240x240 px. Axial plane. Slice index 75.
FLAIR MR.
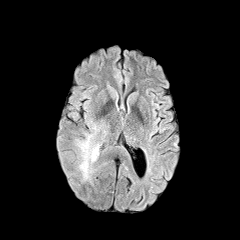
T1-weighted magnetic resonance.
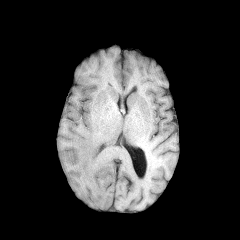
Post-contrast T1-weighted MR image.
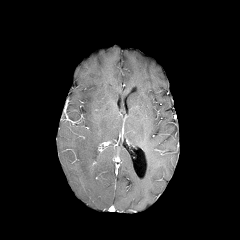
T2-weighted magnetic resonance.
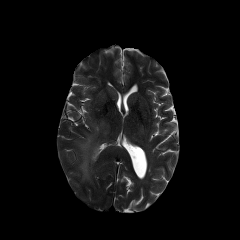
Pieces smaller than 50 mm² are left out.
The largest peritumoral edema region is located at rect(76, 122, 102, 180).